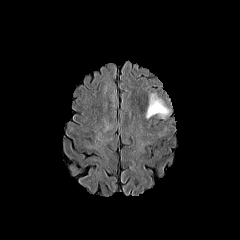
FLAIR MR.
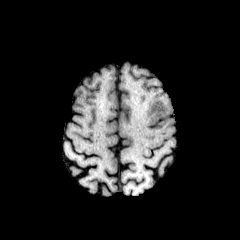
T1-weighted MR of the same slice.
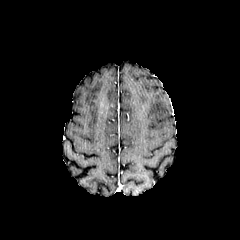
Post-contrast T1-weighted MR image.
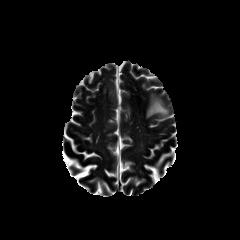
T2-weighted MR image.
Head
peritumoral edema = x1=146, y1=93, x2=169, y2=118